Brain. Slice 88/155.
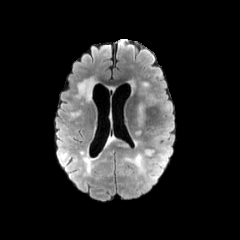
FLAIR magnetic resonance.
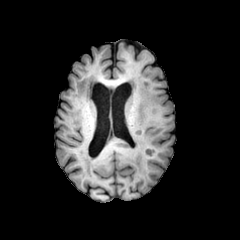
T1-weighted MR image.
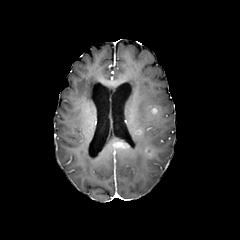
Post-contrast T1-weighted magnetic resonance.
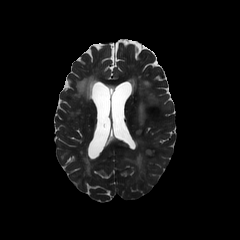
T2-weighted MR.
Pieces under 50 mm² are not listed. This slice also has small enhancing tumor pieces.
<segmentation>
  <peritumoral_edema><bbox>125, 154, 144, 172</bbox>, <bbox>108, 137, 116, 145</bbox>, <bbox>137, 104, 145, 126</bbox>, <bbox>144, 149, 154, 156</bbox></peritumoral_edema>
</segmentation>